Axial slice | 240x240 | Brain | Image width 240 mm, 1.00 mm slice spacing | Slice index 63
FLAIR MR image.
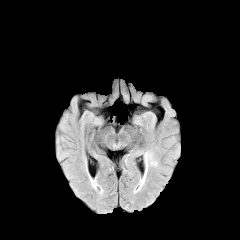
T1-weighted MR image.
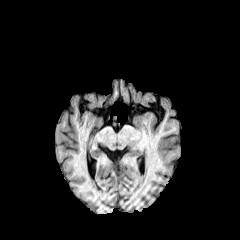
Post-contrast T1-weighted MR.
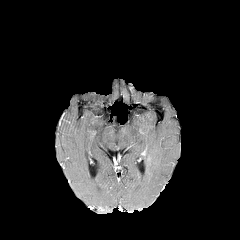
T2-weighted MR.
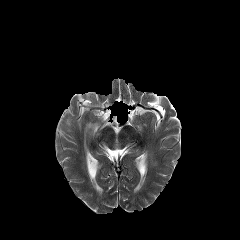
Segmented structures:
• peritumoral edema: [139,152,156,189]